FLAIR MRI.
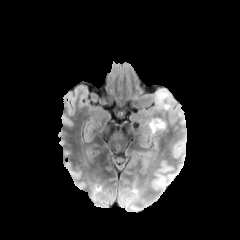
T1-weighted MR image.
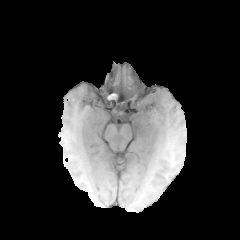
Post-contrast T1-weighted MRI.
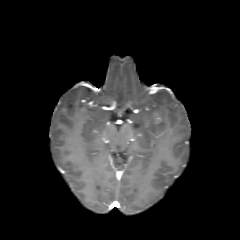
T2-weighted magnetic resonance.
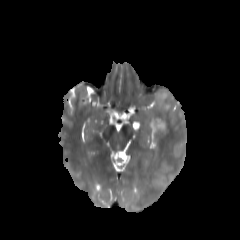
Head.
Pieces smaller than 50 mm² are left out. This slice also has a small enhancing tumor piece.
2 peritumoral edema regions are located at 155,89,171,109; 149,119,165,134.